240x240. Image width 240 mm. Head.
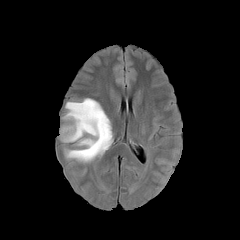
FLAIR MR image.
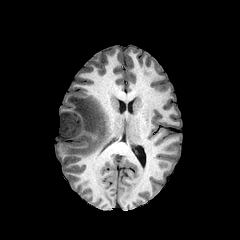
Same slice, T1-weighted MRI.
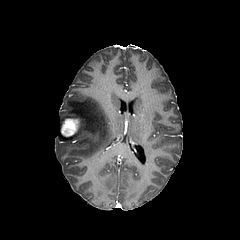
Post-contrast T1-weighted magnetic resonance.
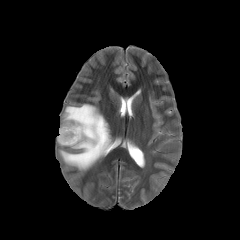
T2-weighted MR image of the same slice.
enhancing tumor: (left=61, top=118, right=79, bottom=136)
peritumoral edema: (left=59, top=98, right=112, bottom=164)